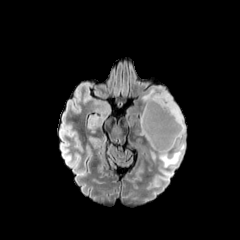
FLAIR MRI.
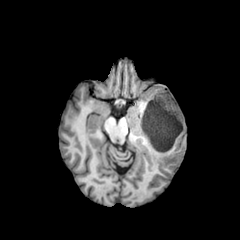
T1-weighted MR of the same slice.
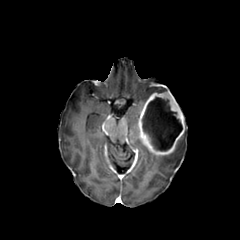
Post-contrast T1-weighted MR image.
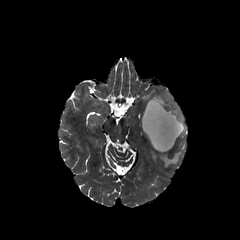
Same slice, T2-weighted MR.
240x240 px.
necrotic tumor core: [x1=142, y1=97, x2=182, y2=151]
enhancing tumor: [x1=138, y1=91, x2=185, y2=155]
peritumoral edema: [x1=142, y1=85, x2=167, y2=103], [x1=150, y1=128, x2=186, y2=167]